Axial view; Slice 66 of 155; Head
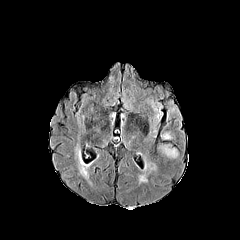
FLAIR MRI.
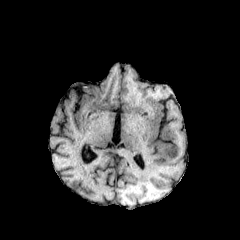
T1-weighted MR.
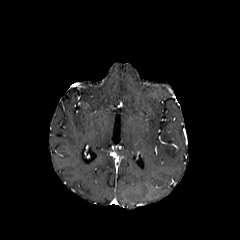
Same slice, post-contrast T1-weighted magnetic resonance.
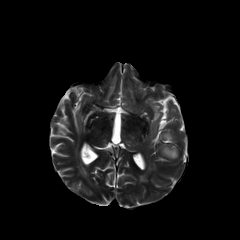
T2-weighted MR.
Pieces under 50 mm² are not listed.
peritumoral edema: (left=161, top=146, right=177, bottom=158), (left=148, top=103, right=159, bottom=138)